FLAIR MR image.
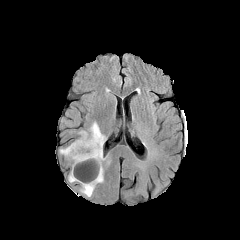
T1-weighted MR.
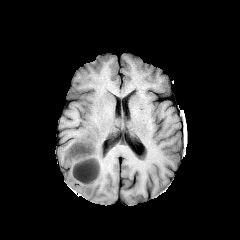
Post-contrast T1-weighted MR.
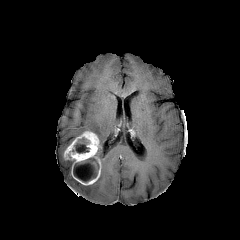
T2-weighted MR image.
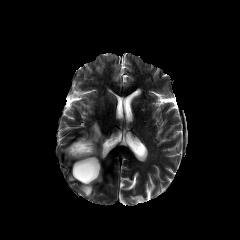
Head | Axial plane
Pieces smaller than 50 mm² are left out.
peritumoral edema: bounding box (x1=80, y1=122, x2=105, y2=160), (x1=80, y1=167, x2=103, y2=197)
necrotic tumor core: bounding box (x1=72, y1=138, x2=89, y2=153), (x1=73, y1=158, x2=99, y2=182)
enhancing tumor: bounding box (x1=64, y1=132, x2=101, y2=185)